Slice 125/155. Image covers 240 mm x 240 mm. Axial slice. Brain.
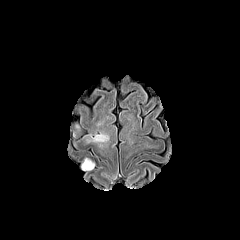
FLAIR MR.
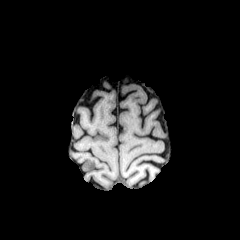
T1-weighted MR image of the same slice.
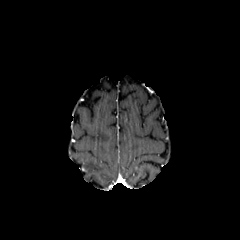
Same slice, post-contrast T1-weighted magnetic resonance.
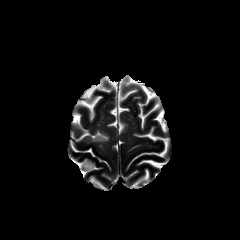
T2-weighted MRI.
peritumoral edema at <bbox>82, 158, 94, 170</bbox>, <bbox>92, 133, 108, 141</bbox>